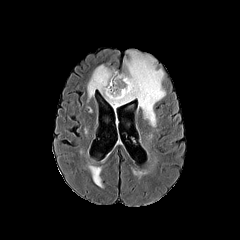
FLAIR magnetic resonance.
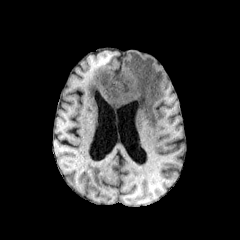
T1-weighted MR.
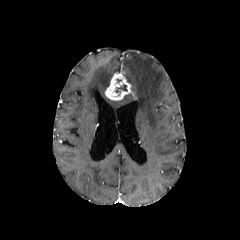
Post-contrast T1-weighted MR of the same slice.
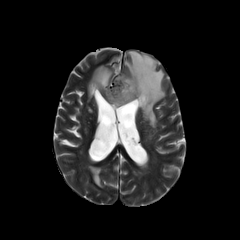
T2-weighted MR.
Image size 240x240. Axial view. Head.
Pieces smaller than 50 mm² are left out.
necrotic tumor core = [115, 84, 127, 93]
enhancing tumor = [105, 72, 134, 100]
peritumoral edema = [89, 166, 102, 187], [87, 51, 165, 126]